Axial plane. Head.
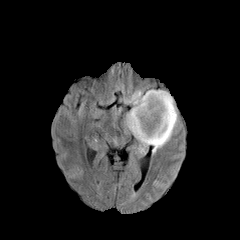
FLAIR MR image.
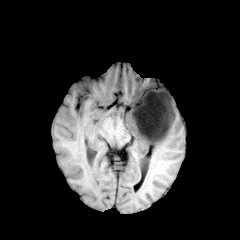
T1-weighted MR image of the same slice.
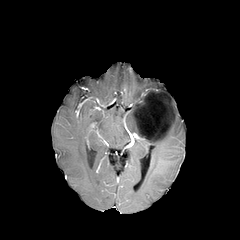
Same slice, post-contrast T1-weighted MR image.
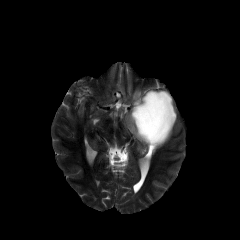
T2-weighted MR.
{
  "necrotic_tumor_core": [
    "left=134, top=93, right=172, bottom=140"
  ],
  "peritumoral_edema": [
    "left=126, top=89, right=177, bottom=153"
  ],
  "enhancing_tumor": [
    "left=132, top=91, right=174, bottom=142"
  ]
}